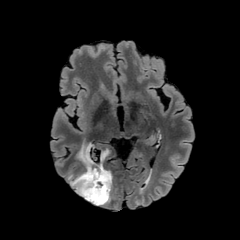
FLAIR magnetic resonance.
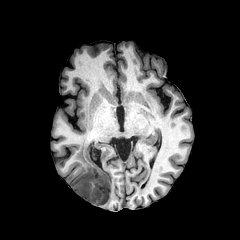
T1-weighted MR image.
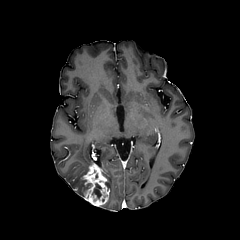
Post-contrast T1-weighted MRI of the same slice.
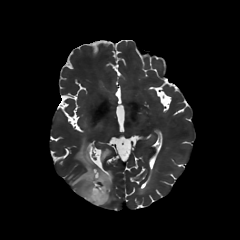
Same slice, T2-weighted MR image.
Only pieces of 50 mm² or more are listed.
The peritumoral edema is at x1=67 y1=142 x2=113 y2=206. The enhancing tumor is at x1=81 y1=163 x2=109 y2=206. The largest necrotic tumor core region lies within x1=92 y1=183 x2=101 y2=198.